FLAIR MR.
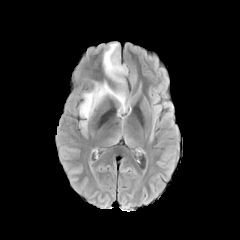
T1-weighted MRI.
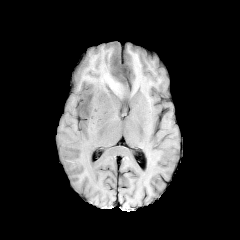
Post-contrast T1-weighted magnetic resonance.
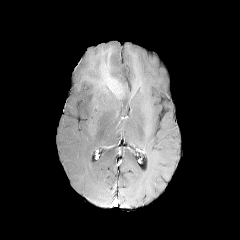
T2-weighted MRI.
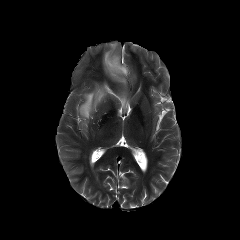
240x240; Head
peritumoral edema: bbox(79, 42, 137, 138)